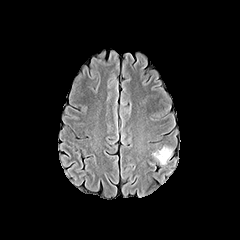
FLAIR MRI.
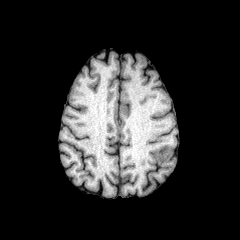
T1-weighted MR of the same slice.
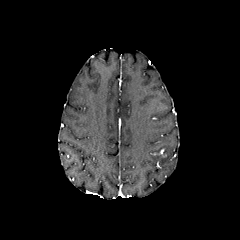
Post-contrast T1-weighted magnetic resonance.
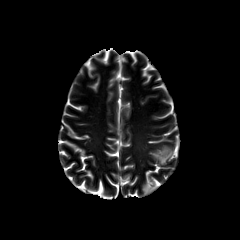
Same slice, T2-weighted MR image.
Axial slice.
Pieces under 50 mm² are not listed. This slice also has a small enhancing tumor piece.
The peritumoral edema appears at rect(155, 147, 172, 164).